Slice index 88; Head; Axial view
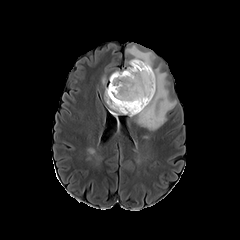
FLAIR magnetic resonance.
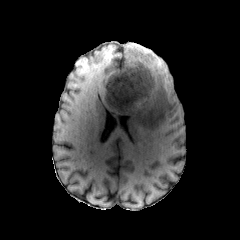
Same slice, T1-weighted MR.
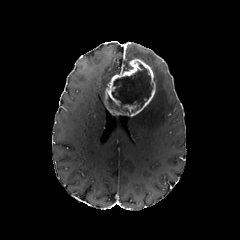
Post-contrast T1-weighted magnetic resonance.
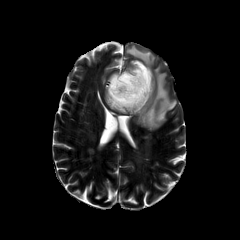
T2-weighted MRI.
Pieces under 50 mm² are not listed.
peritumoral edema at 134:69:176:130, 130:48:150:66
necrotic tumor core at 107:63:153:114
enhancing tumor at 123:104:136:112, 105:59:155:116